Head
FLAIR MR.
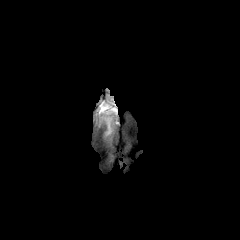
T1-weighted MR image.
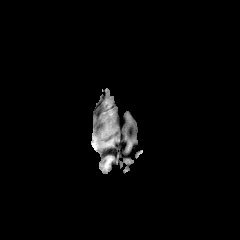
Post-contrast T1-weighted magnetic resonance.
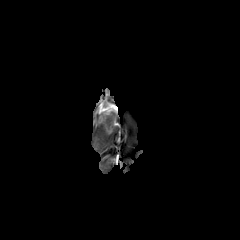
T2-weighted magnetic resonance.
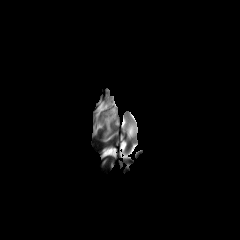
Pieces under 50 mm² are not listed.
The necrotic tumor core is at left=104, top=112, right=114, bottom=129. The enhancing tumor lies within left=94, top=94, right=118, bottom=133. The largest peritumoral edema region lies within left=104, top=126, right=116, bottom=139.